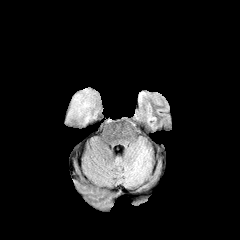
FLAIR magnetic resonance.
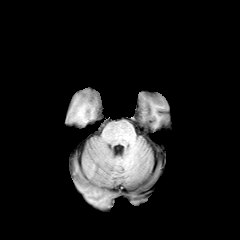
T1-weighted magnetic resonance.
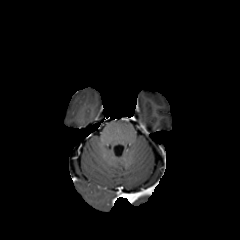
Post-contrast T1-weighted magnetic resonance.
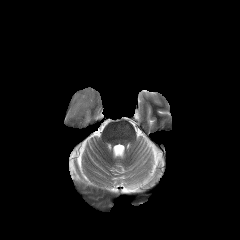
Same slice, T2-weighted magnetic resonance.
Head; Axial slice
<segmentation>
  <peritumoral_edema>region(64, 87, 101, 127)</peritumoral_edema>
</segmentation>